FLAIR MR image.
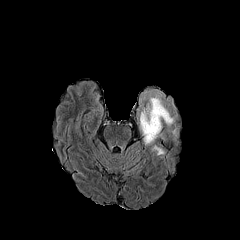
T1-weighted MRI.
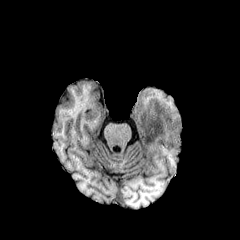
Post-contrast T1-weighted magnetic resonance.
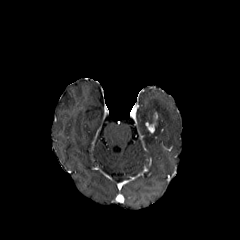
T2-weighted MR.
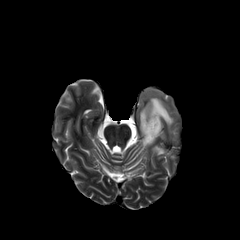
Axial slice, Brain
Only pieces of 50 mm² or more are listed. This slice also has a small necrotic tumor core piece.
<segmentation>
  <enhancing_tumor>[x1=145, y1=112, x2=158, y2=133]</enhancing_tumor>
  <peritumoral_edema>[x1=139, y1=90, x2=174, y2=145], [x1=152, y1=146, x2=164, y2=155]</peritumoral_edema>
</segmentation>